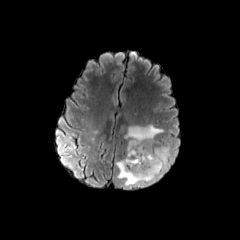
FLAIR MR.
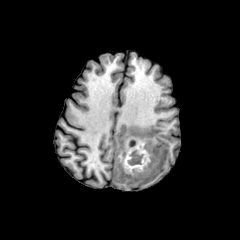
T1-weighted MR image of the same slice.
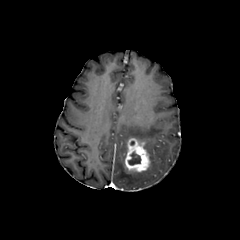
Post-contrast T1-weighted magnetic resonance.
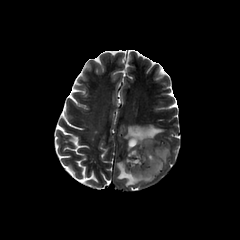
T2-weighted MR image of the same slice.
Axial slice; Brain
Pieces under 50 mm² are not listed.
enhancing tumor — (left=125, top=138, right=150, bottom=172)
peritumoral edema — (left=116, top=124, right=170, bottom=186)
necrotic tumor core — (left=128, top=152, right=140, bottom=165)